Axial slice.
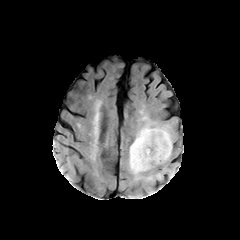
FLAIR MR.
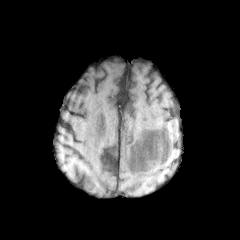
Same slice, T1-weighted MR.
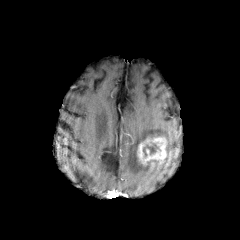
Same slice, post-contrast T1-weighted MRI.
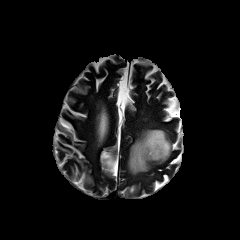
Same slice, T2-weighted MR image.
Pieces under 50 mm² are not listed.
<segmentation>
  <necrotic_tumor_core>143,144,158,156</necrotic_tumor_core>
  <peritumoral_edema>128,124,172,176</peritumoral_edema>
  <enhancing_tumor>137,134,168,165</enhancing_tumor>
</segmentation>